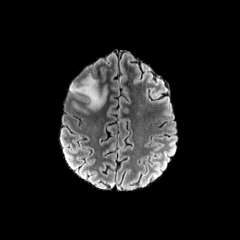
FLAIR MRI.
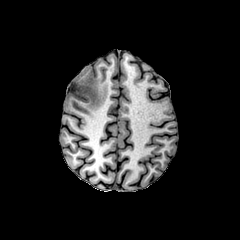
T1-weighted magnetic resonance.
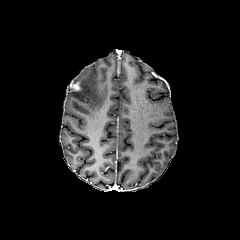
Post-contrast T1-weighted magnetic resonance of the same slice.
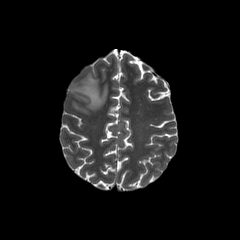
T2-weighted magnetic resonance of the same slice.
Brain
The peritumoral edema is bounded by left=69, top=74, right=106, bottom=109. The enhancing tumor is located at left=70, top=82, right=80, bottom=90.